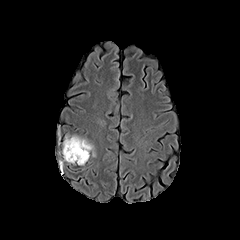
FLAIR magnetic resonance.
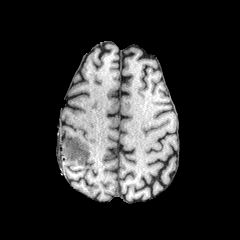
T1-weighted magnetic resonance.
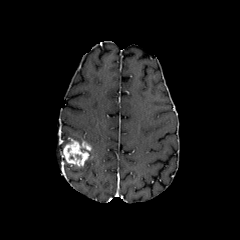
Same slice, post-contrast T1-weighted MRI.
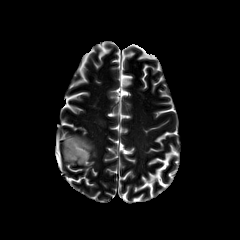
T2-weighted magnetic resonance of the same slice.
Brain | Image size 240x240
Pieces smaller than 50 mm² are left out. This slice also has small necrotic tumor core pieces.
The largest peritumoral edema region is located at left=63, top=135, right=95, bottom=156. The enhancing tumor is at left=62, top=138, right=91, bottom=166.